Brain
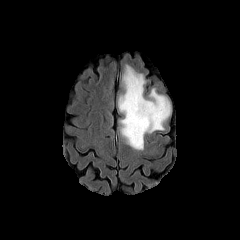
FLAIR magnetic resonance.
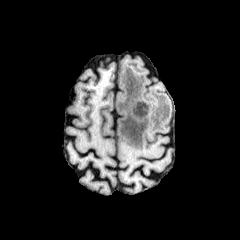
T1-weighted MRI.
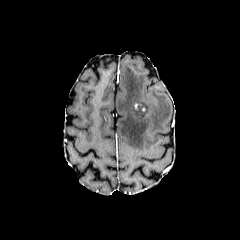
Post-contrast T1-weighted MRI.
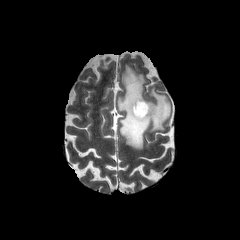
T2-weighted MR of the same slice.
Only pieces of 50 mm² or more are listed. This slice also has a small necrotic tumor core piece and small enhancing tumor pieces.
The peritumoral edema lies within (118,65,170,149).